FLAIR MR.
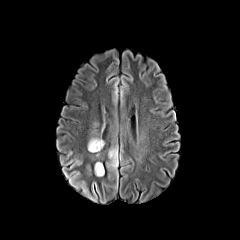
T1-weighted MR.
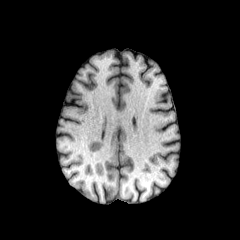
Post-contrast T1-weighted magnetic resonance.
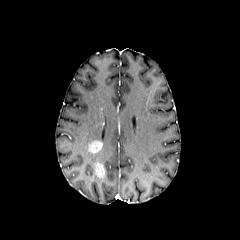
T2-weighted MR.
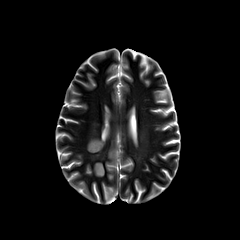
Axial view. 240x240. Brain.
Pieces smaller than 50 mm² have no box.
peritumoral edema = left=109, top=149, right=117, bottom=166
enhancing tumor = left=95, top=163, right=104, bottom=176; left=89, top=141, right=102, bottom=152